FLAIR MR image.
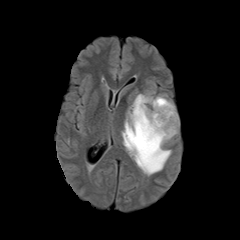
T1-weighted MR.
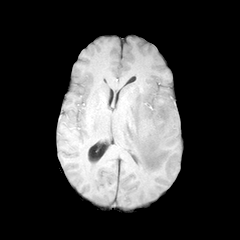
Post-contrast T1-weighted MR image.
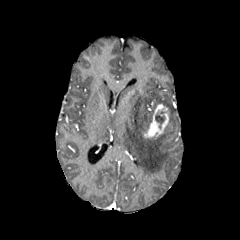
T2-weighted MR image.
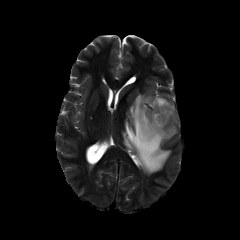
Axial view.
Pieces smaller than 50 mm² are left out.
Segmented structures:
- enhancing tumor: <box>144,104,168,137</box>
- peritumoral edema: <box>122,90,179,175</box>
- necrotic tumor core: <box>155,113,164,128</box>